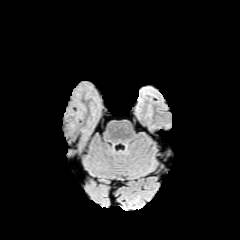
FLAIR MR image.
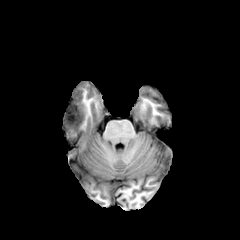
T1-weighted MRI of the same slice.
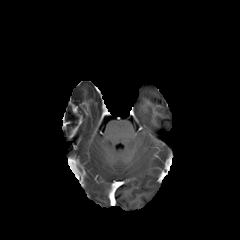
Post-contrast T1-weighted magnetic resonance.
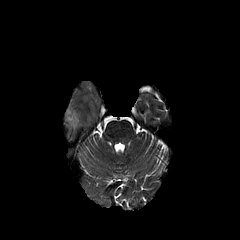
T2-weighted MR of the same slice.
Axial plane.
Annotated regions:
- necrotic tumor core: 65,106,79,134; 78,105,86,117
- enhancing tumor: 62,101,88,138
- peritumoral edema: 73,91,83,100